FLAIR MR image.
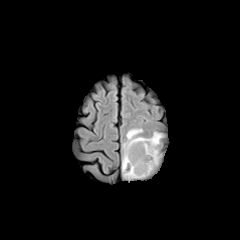
T1-weighted MRI.
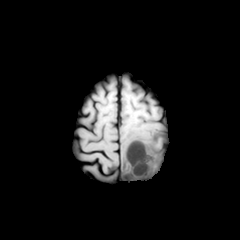
Post-contrast T1-weighted MR image.
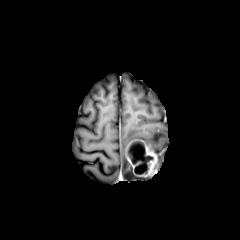
T2-weighted MRI.
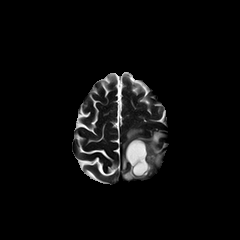
Brain | Axial view
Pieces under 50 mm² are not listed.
The peritumoral edema is bounded by rect(122, 128, 164, 179). The 2 largest necrotic tumor core regions appear at rect(129, 144, 144, 163); rect(134, 164, 147, 174). The enhancing tumor lies within rect(125, 138, 157, 177).